Image covers 240 mm x 240 mm | Image size 240x240 | Axial plane
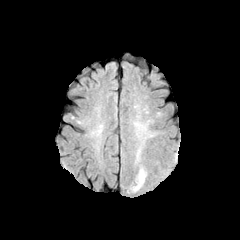
FLAIR MR image.
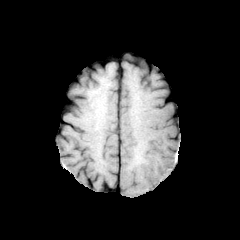
Same slice, T1-weighted MR image.
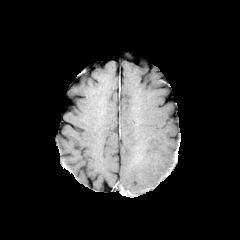
Post-contrast T1-weighted MRI.
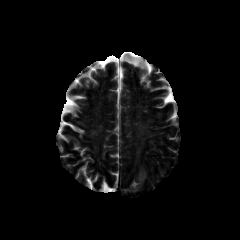
T2-weighted MRI of the same slice.
peritumoral edema — [133,169,146,191]